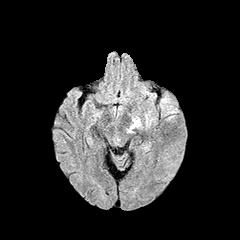
FLAIR MRI.
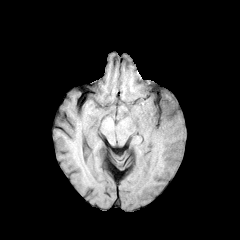
Same slice, T1-weighted MRI.
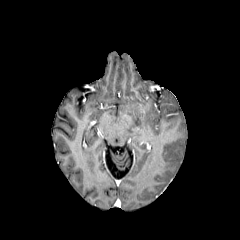
Post-contrast T1-weighted MR image.
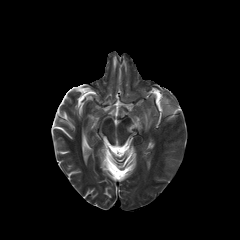
T2-weighted magnetic resonance.
Axial view
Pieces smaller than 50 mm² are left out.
The largest peritumoral edema region lies within region(128, 121, 140, 132).